FLAIR MR image.
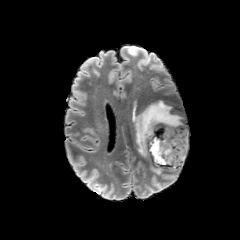
T1-weighted MRI.
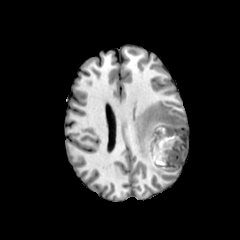
Post-contrast T1-weighted MR.
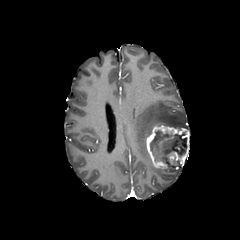
T2-weighted MRI.
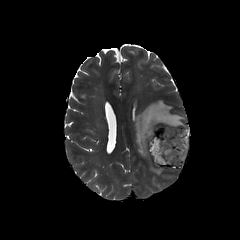
Brain
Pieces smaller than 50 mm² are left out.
enhancing tumor — 146,124,189,167
necrotic tumor core — 150,130,187,165
peritumoral edema — 132,99,187,157; 150,165,162,174